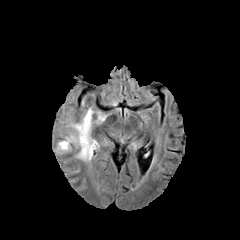
FLAIR MRI.
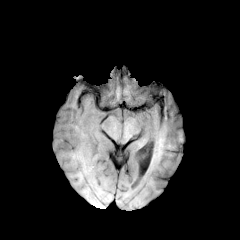
T1-weighted MR image.
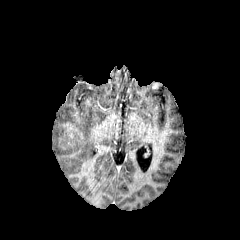
Post-contrast T1-weighted magnetic resonance.
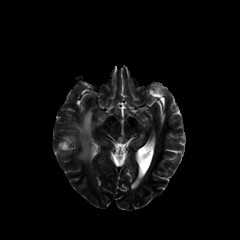
Same slice, T2-weighted magnetic resonance.
Head
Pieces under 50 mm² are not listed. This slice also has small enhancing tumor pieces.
The largest peritumoral edema region is located at {"x1": 56, "y1": 108, "x2": 99, "y2": 161}.